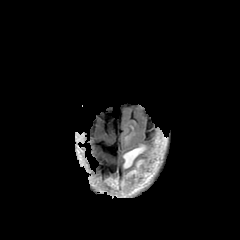
FLAIR MR.
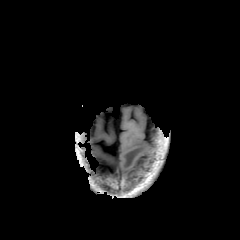
T1-weighted magnetic resonance.
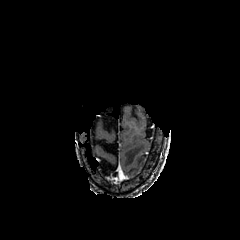
Post-contrast T1-weighted MR of the same slice.
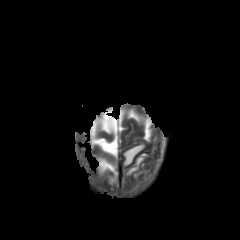
T2-weighted MR.
Axial slice
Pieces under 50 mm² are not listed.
<segmentation>
  <peritumoral_edema>(x1=126, y1=158, x2=145, y2=176), (x1=123, y1=144, x2=145, y2=168)</peritumoral_edema>
</segmentation>